FLAIR MR.
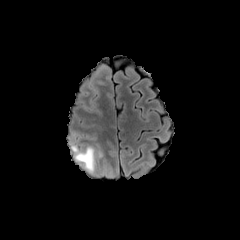
T1-weighted MR.
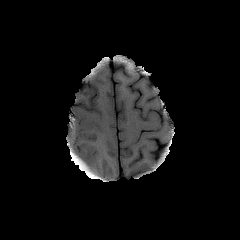
Post-contrast T1-weighted MR.
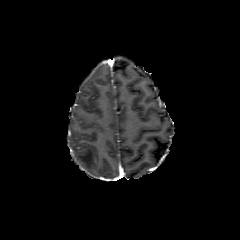
T2-weighted MR image.
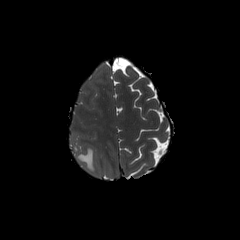
Brain. 240x240 px.
The peritumoral edema appears at 72,145,102,173.